FLAIR magnetic resonance.
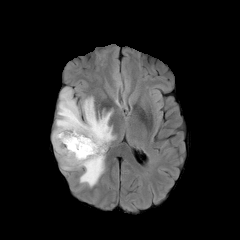
T1-weighted MR.
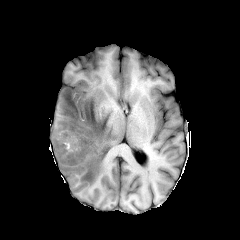
Post-contrast T1-weighted MRI.
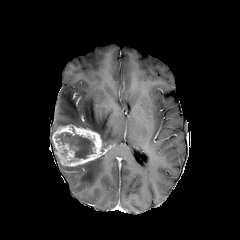
T2-weighted magnetic resonance.
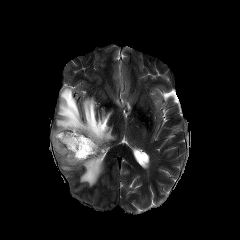
240x240 px, Head
The enhancing tumor appears at 52:124:105:166. 2 peritumoral edema regions are located at 61:158:103:187, 54:87:115:148. The necrotic tumor core is located at 61:132:92:157.